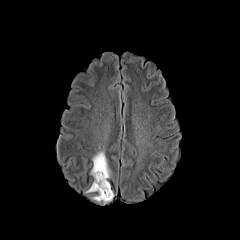
FLAIR magnetic resonance.
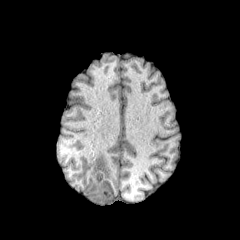
T1-weighted magnetic resonance of the same slice.
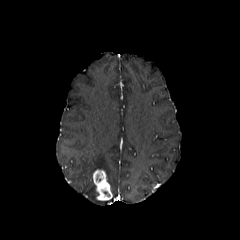
Same slice, post-contrast T1-weighted MR image.
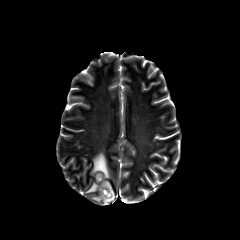
T2-weighted MR image.
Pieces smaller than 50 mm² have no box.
The enhancing tumor is bounded by x1=93, y1=169, x2=112, y2=200. The 2 largest peritumoral edema regions are located at x1=85, y1=182, x2=95, y2=193; x1=90, y1=151, x2=110, y2=181. 2 necrotic tumor core regions are located at x1=100, y1=185, x2=110, y2=198; x1=95, y1=171, x2=103, y2=182.